Head
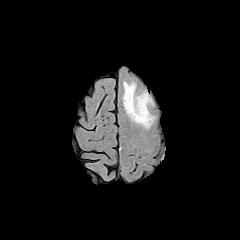
FLAIR magnetic resonance.
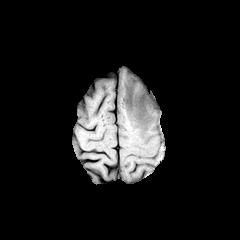
T1-weighted MR image of the same slice.
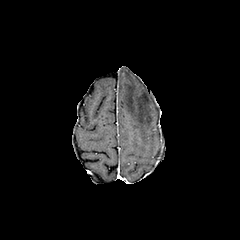
Same slice, post-contrast T1-weighted MRI.
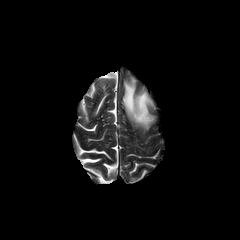
T2-weighted MRI.
<segmentation>
  <peritumoral_edema>x1=123, y1=81, x2=154, y2=129</peritumoral_edema>
</segmentation>